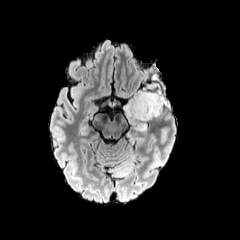
FLAIR MR.
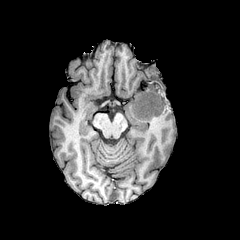
T1-weighted magnetic resonance.
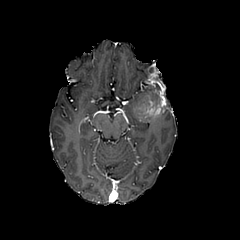
Same slice, post-contrast T1-weighted magnetic resonance.
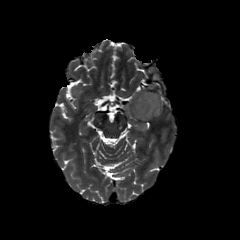
T2-weighted MR.
Axial slice
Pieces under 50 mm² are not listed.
{
  "peritumoral_edema": [
    "(x1=123, y1=88, x2=154, y2=132)"
  ],
  "necrotic_tumor_core": [
    "(x1=150, y1=94, x2=161, y2=113)"
  ],
  "enhancing_tumor": [
    "(x1=133, y1=91, x2=166, y2=119)"
  ]
}